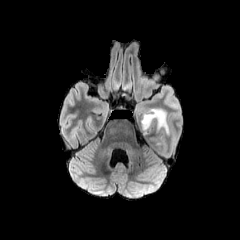
FLAIR MRI.
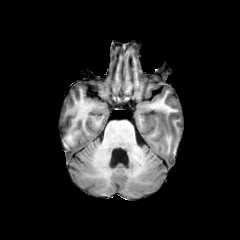
Same slice, T1-weighted MR image.
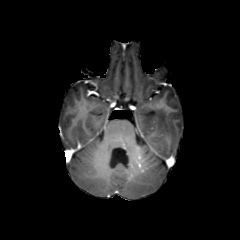
Same slice, post-contrast T1-weighted MR.
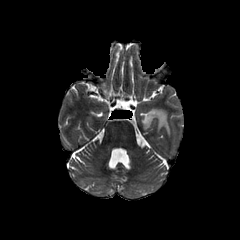
T2-weighted magnetic resonance.
Axial view
The peritumoral edema is bounded by (x1=140, y1=107, x2=169, y2=134).